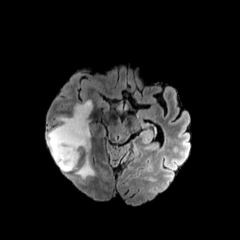
FLAIR MRI.
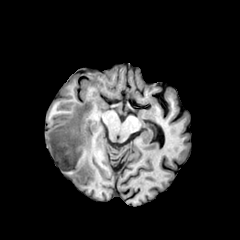
T1-weighted MR image of the same slice.
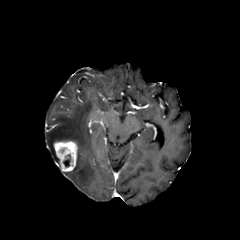
Post-contrast T1-weighted MRI.
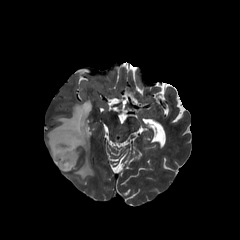
Same slice, T2-weighted MR image.
Image size 240x240; Axial slice
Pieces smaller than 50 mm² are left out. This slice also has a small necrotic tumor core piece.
Segmented structures:
• enhancing tumor: [53,141,77,171]
• peritumoral edema: [75,155,94,179], [47,100,92,163]